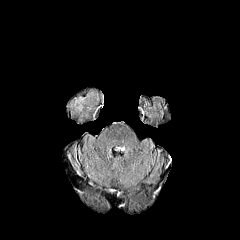
FLAIR MRI.
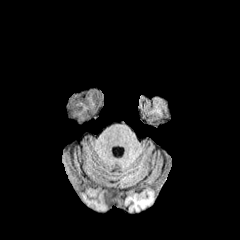
T1-weighted magnetic resonance of the same slice.
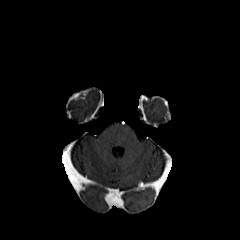
Post-contrast T1-weighted MRI.
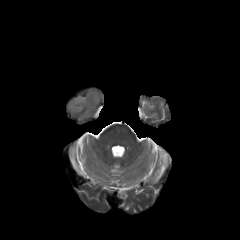
T2-weighted MR image.
Brain | Image size 240x240
peritumoral edema — bbox(71, 96, 86, 110)